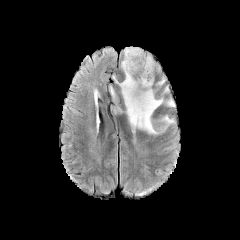
FLAIR MRI.
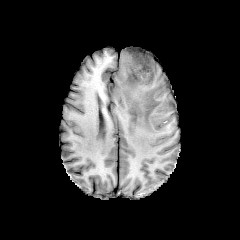
T1-weighted MR.
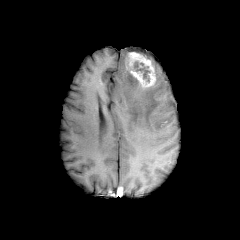
Same slice, post-contrast T1-weighted MR image.
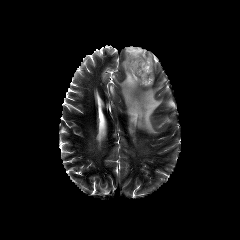
T2-weighted MR image.
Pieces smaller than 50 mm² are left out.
The 2 largest peritumoral edema regions appear at (x1=110, y1=47, x2=174, y2=134), (x1=161, y1=116, x2=173, y2=124). The enhancing tumor is at (x1=125, y1=51, x2=155, y2=87). The largest necrotic tumor core region is at (x1=134, y1=62, x2=149, y2=81).